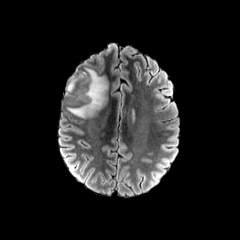
FLAIR MR image.
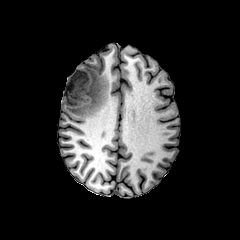
T1-weighted MR image.
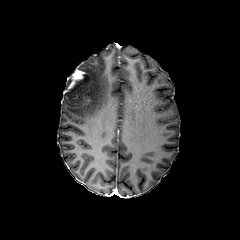
Post-contrast T1-weighted MRI.
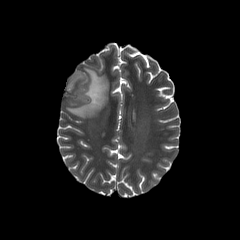
T2-weighted MR image.
Axial slice; Head
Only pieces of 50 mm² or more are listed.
peritumoral edema: bounding box [67,68,107,118]
enhancing tumor: bounding box [67,69,85,89]